FLAIR MR.
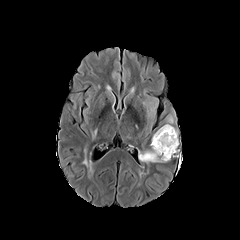
T1-weighted MRI.
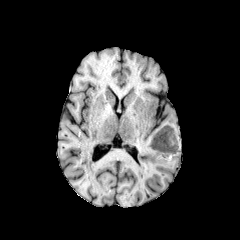
Post-contrast T1-weighted magnetic resonance.
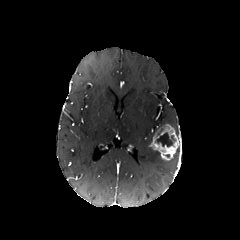
T2-weighted MR image.
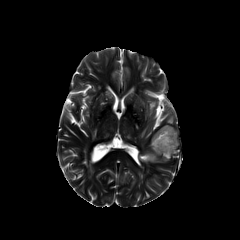
Axial view, Brain
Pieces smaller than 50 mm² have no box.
enhancing_tumor:
  - bbox=[150, 124, 180, 160]
necrotic_tumor_core:
  - bbox=[157, 131, 174, 146]
peritumoral_edema:
  - bbox=[139, 149, 167, 163]